Brain. 240x240. Slice 63 of 155.
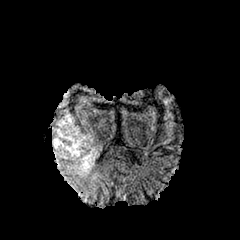
FLAIR MR.
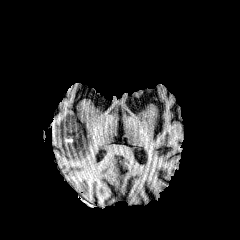
Same slice, T1-weighted MR.
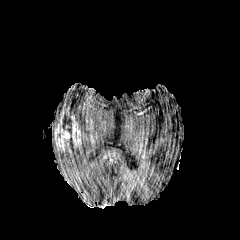
Post-contrast T1-weighted MR image.
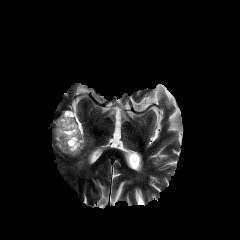
T2-weighted MR image of the same slice.
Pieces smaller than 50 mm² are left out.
Findings:
• enhancing tumor: (x1=55, y1=112, x2=87, y2=153)
• peritumoral edema: (x1=61, y1=133, x2=98, y2=174)
• necrotic tumor core: (x1=62, y1=117, x2=70, y2=124), (x1=69, y1=137, x2=74, y2=150)